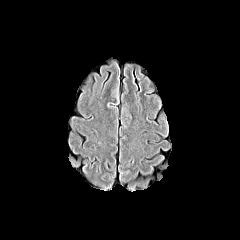
FLAIR MRI.
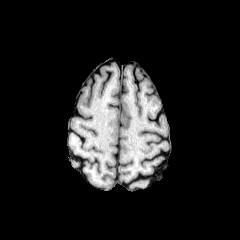
T1-weighted MR of the same slice.
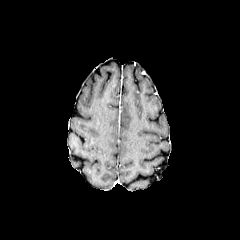
Same slice, post-contrast T1-weighted MRI.
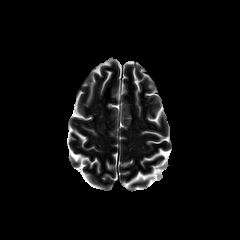
T2-weighted MR image of the same slice.
Brain, Axial plane
peritumoral edema — bbox(111, 86, 117, 96)